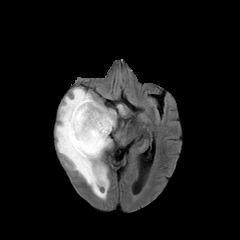
FLAIR MR.
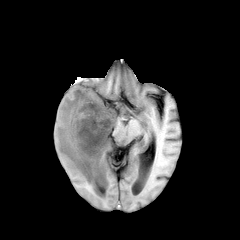
T1-weighted MRI.
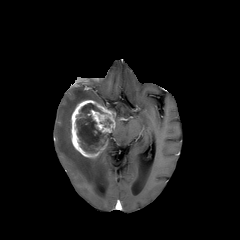
Post-contrast T1-weighted magnetic resonance.
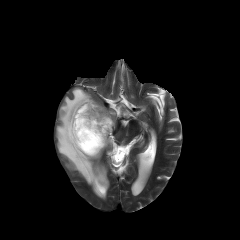
T2-weighted magnetic resonance.
Head
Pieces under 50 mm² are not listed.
The 2 largest peritumoral edema regions are located at 117 104 125 114, 56 87 109 199. The largest enhancing tumor region lies within 71 100 115 158. The largest necrotic tumor core region lies within 76 103 106 152.